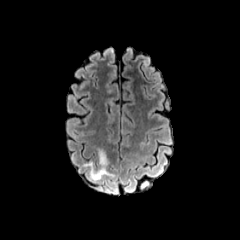
FLAIR magnetic resonance.
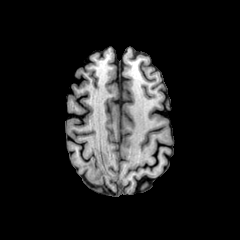
Same slice, T1-weighted magnetic resonance.
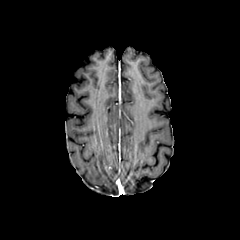
Post-contrast T1-weighted MR image.
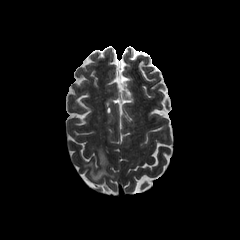
T2-weighted magnetic resonance.
Head.
peritumoral edema = bbox(84, 149, 114, 181)